FLAIR magnetic resonance.
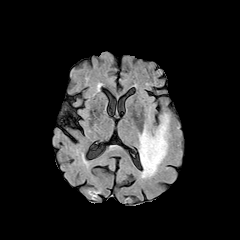
T1-weighted MRI.
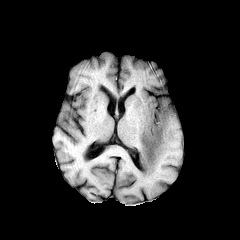
Post-contrast T1-weighted MR image.
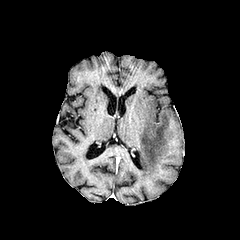
T2-weighted MRI.
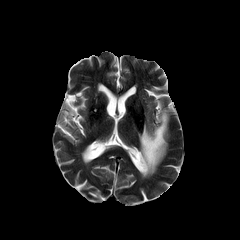
Image size 240x240. Head.
peritumoral edema at (x1=139, y1=111, x2=169, y2=178)